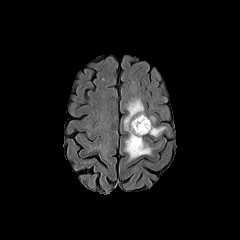
FLAIR magnetic resonance.
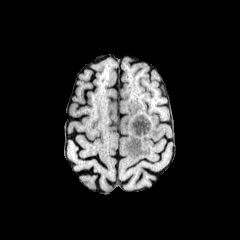
T1-weighted MR.
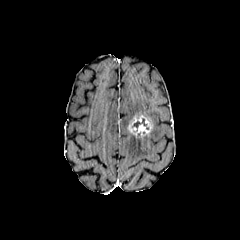
Post-contrast T1-weighted magnetic resonance.
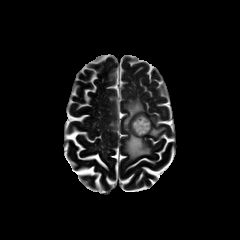
Same slice, T2-weighted MR.
Axial plane, Head
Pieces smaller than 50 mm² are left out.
<segmentation>
  <enhancing_tumor>region(127, 114, 152, 137)</enhancing_tumor>
  <necrotic_tumor_core>region(133, 118, 146, 130)</necrotic_tumor_core>
  <peritumoral_edema>region(125, 133, 150, 159); region(150, 127, 164, 136); region(124, 99, 144, 130)</peritumoral_edema>
</segmentation>